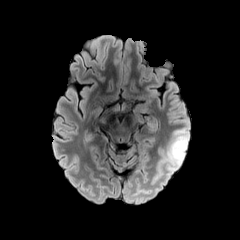
FLAIR MRI.
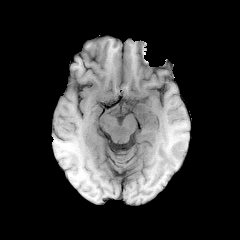
T1-weighted MR.
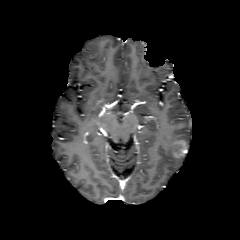
Post-contrast T1-weighted MR.
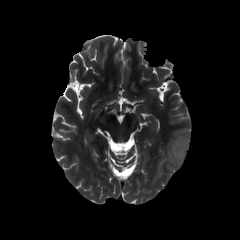
T2-weighted MR image.
Brain
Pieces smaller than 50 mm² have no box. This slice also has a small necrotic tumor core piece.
Segmented structures:
* enhancing tumor: box(172, 140, 187, 158)
* peritumoral edema: box(158, 128, 189, 178)